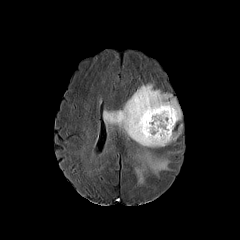
FLAIR MRI.
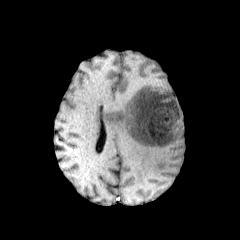
T1-weighted MRI.
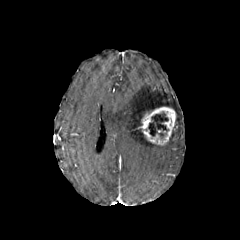
Same slice, post-contrast T1-weighted MRI.
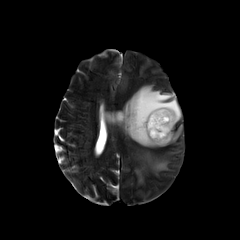
T2-weighted MR of the same slice.
Axial view
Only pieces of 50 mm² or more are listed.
peritumoral edema — region(103, 84, 182, 184)
enhancing tumor — region(138, 106, 176, 145)
necrotic tumor core — region(148, 112, 168, 136)